Brain; Image width 240 mm, 1.00 mm slice spacing; 240x240; Axial plane; Slice 107 of 155
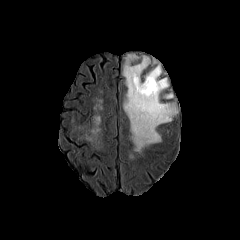
FLAIR MR image.
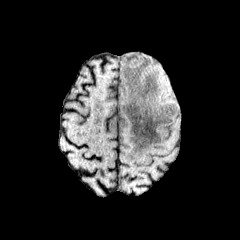
T1-weighted MR.
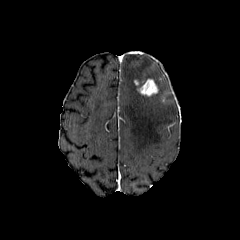
Post-contrast T1-weighted MR of the same slice.
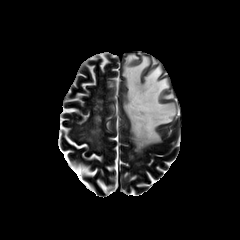
T2-weighted MRI.
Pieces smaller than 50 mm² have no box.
Segmented structures:
• peritumoral edema: (122,54,177,152)
• enhancing tumor: (134,78,158,96)